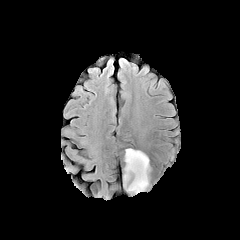
FLAIR magnetic resonance.
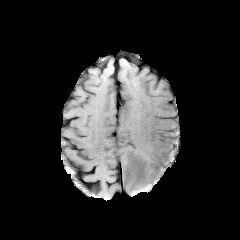
Same slice, T1-weighted MR.
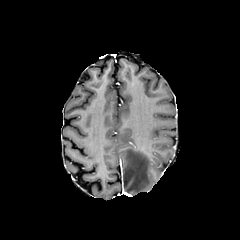
Same slice, post-contrast T1-weighted magnetic resonance.
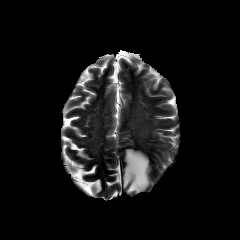
T2-weighted MRI.
Brain; 240x240 px
peritumoral edema — l=123, t=148, r=149, b=193